FLAIR magnetic resonance.
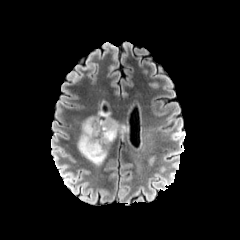
T1-weighted MR.
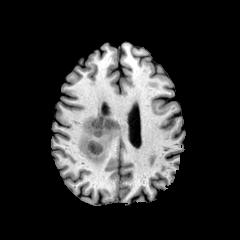
Post-contrast T1-weighted MRI.
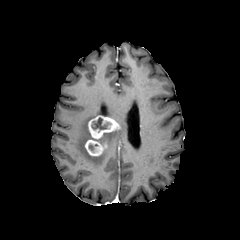
T2-weighted MR image.
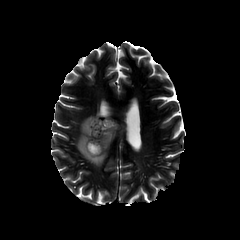
Brain.
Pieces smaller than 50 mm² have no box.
enhancing_tumor:
  - rect(85, 139, 107, 156)
  - rect(88, 115, 120, 139)
peritumoral_edema:
  - rect(94, 129, 120, 147)
  - rect(77, 116, 106, 165)
necrotic_tumor_core:
  - rect(92, 117, 108, 129)